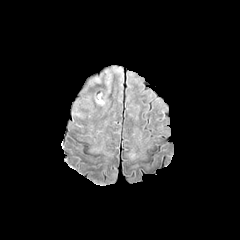
FLAIR MR image.
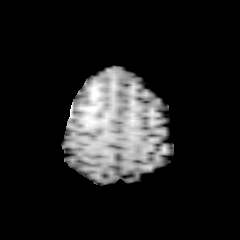
T1-weighted MR.
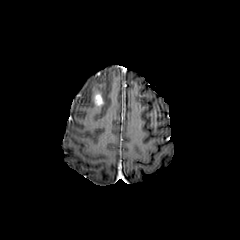
Post-contrast T1-weighted MR image.
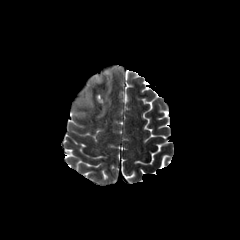
T2-weighted MR of the same slice.
Brain; Axial slice
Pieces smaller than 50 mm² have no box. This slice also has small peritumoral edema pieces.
{"enhancing_tumor": ["[92, 89, 103, 104]"]}